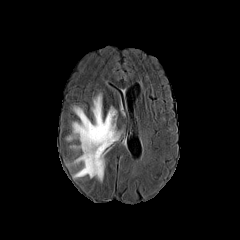
FLAIR magnetic resonance.
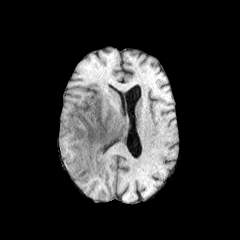
Same slice, T1-weighted MR.
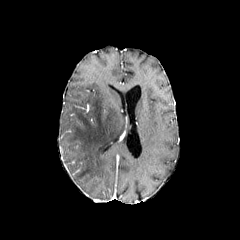
Same slice, post-contrast T1-weighted MR.
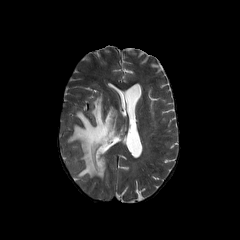
T2-weighted MR image.
Axial plane
{"peritumoral_edema": [{"x1": 68, "y1": 95, "x2": 120, "y2": 180}]}